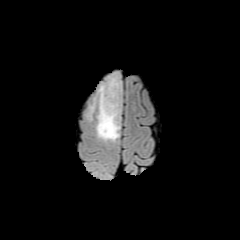
FLAIR MRI.
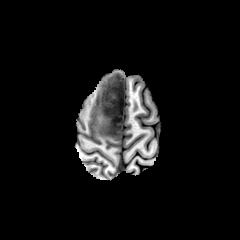
T1-weighted magnetic resonance.
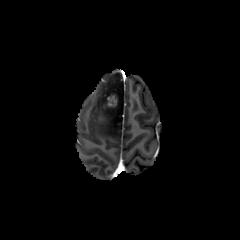
Post-contrast T1-weighted MR image.
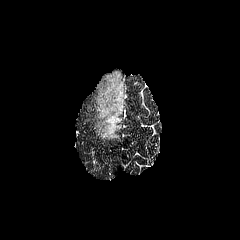
T2-weighted MR of the same slice.
Axial view
The enhancing tumor appears at bbox(107, 95, 117, 106). The peritumoral edema is located at bbox(89, 73, 122, 141).